FLAIR MRI.
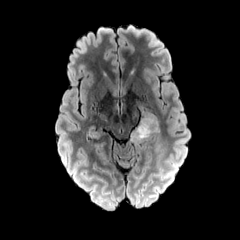
T1-weighted MR image.
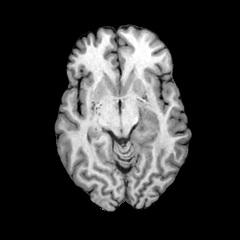
Post-contrast T1-weighted MR image.
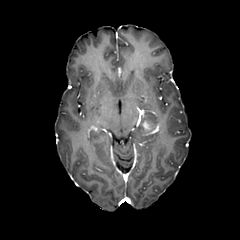
T2-weighted magnetic resonance.
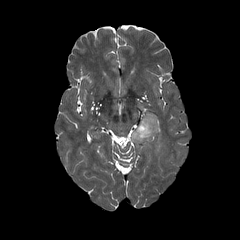
Brain; 240x240
<segmentation>
  <peritumoral_edema>[x1=131, y1=112, x2=157, y2=141]</peritumoral_edema>
  <enhancing_tumor>[x1=142, y1=119, x2=159, y2=134]</enhancing_tumor>
</segmentation>